Brain, Slice 81/155
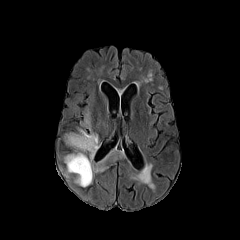
FLAIR MR.
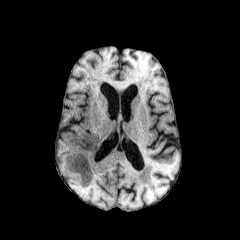
T1-weighted magnetic resonance of the same slice.
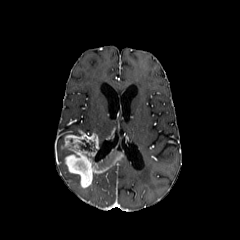
Post-contrast T1-weighted magnetic resonance.
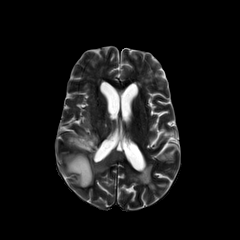
Same slice, T2-weighted MR image.
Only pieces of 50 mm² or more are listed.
<segmentation>
  <peritumoral_edema><box>82,114,93,130</box></peritumoral_edema>
  <necrotic_tumor_core><box>79,140,96,151</box></necrotic_tumor_core>
  <enhancing_tumor><box>64,130,124,187</box></enhancing_tumor>
</segmentation>